Image size 240x240; Axial plane; Head; Slice 87 of 155
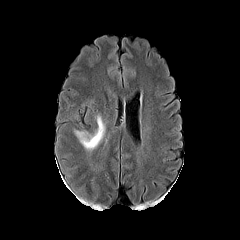
FLAIR magnetic resonance.
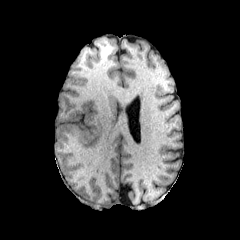
Same slice, T1-weighted MR image.
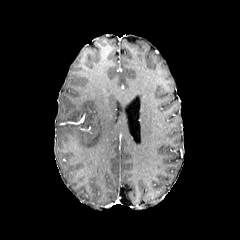
Post-contrast T1-weighted MRI.
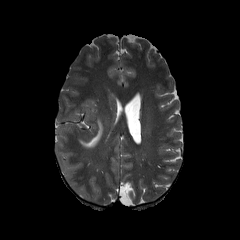
T2-weighted MR image of the same slice.
{"peritumoral_edema": ["box(73, 115, 106, 151)"]}